240x240 px. Head. Axial view.
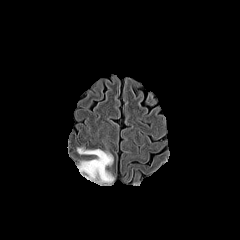
FLAIR MR.
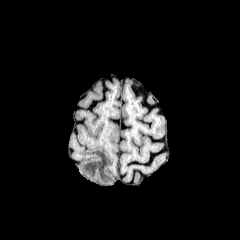
T1-weighted MR.
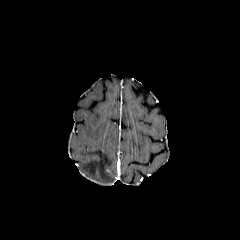
Post-contrast T1-weighted MRI of the same slice.
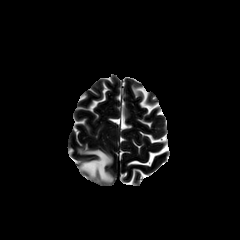
T2-weighted magnetic resonance.
peritumoral_edema:
  - 77, 148, 113, 183